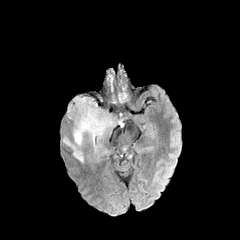
FLAIR MRI.
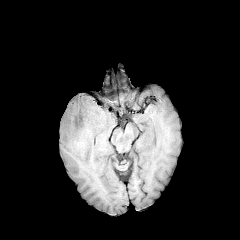
T1-weighted MR.
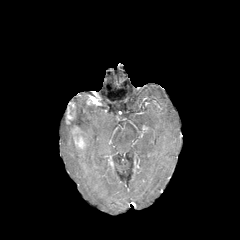
Post-contrast T1-weighted magnetic resonance of the same slice.
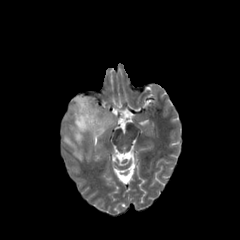
Same slice, T2-weighted MR.
Head
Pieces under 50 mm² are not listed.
peritumoral edema: x1=72, y1=141, x2=84, y2=162; x1=73, y1=95, x2=111, y2=151 | enhancing tumor: x1=66, y1=102, x2=75, y2=123; x1=86, y1=94, x2=97, y2=105; x1=71, y1=125, x2=86, y2=150